FLAIR MR.
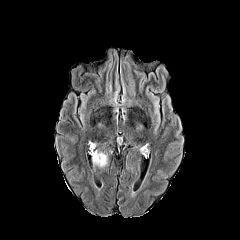
T1-weighted MR.
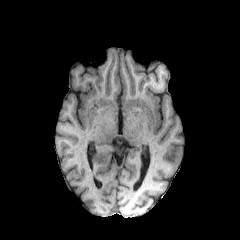
Post-contrast T1-weighted MR image.
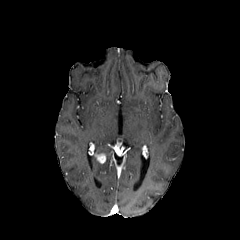
T2-weighted MR.
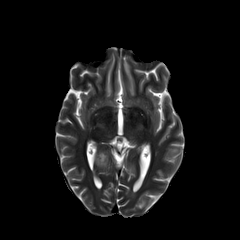
240x240 px | Head
enhancing_tumor:
  - box(93, 152, 105, 163)
peritumoral_edema:
  - box(93, 155, 107, 166)